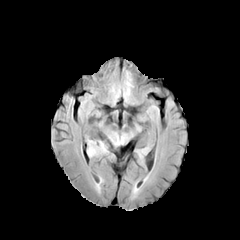
FLAIR MR.
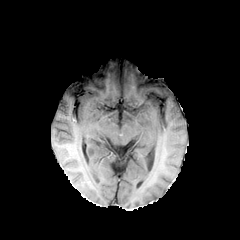
T1-weighted MR.
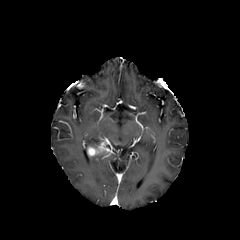
Post-contrast T1-weighted magnetic resonance.
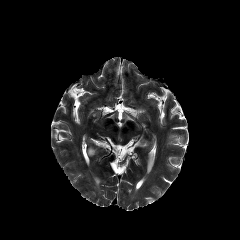
T2-weighted MRI.
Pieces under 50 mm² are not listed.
Annotated regions:
* enhancing tumor: bbox=[87, 139, 111, 156]
* peritumoral edema: bbox=[88, 140, 97, 146]; bbox=[109, 136, 122, 144]